Image covers 240 mm x 240 mm. Axial plane. Slice 38 of 155. Brain.
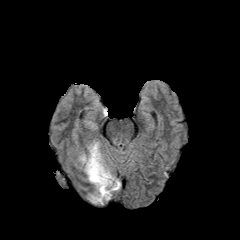
FLAIR MRI.
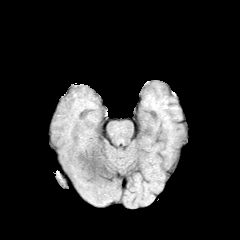
T1-weighted MR of the same slice.
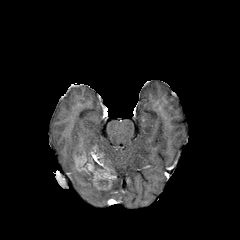
Post-contrast T1-weighted MRI.
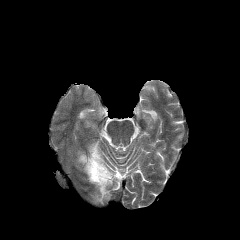
Same slice, T2-weighted MRI.
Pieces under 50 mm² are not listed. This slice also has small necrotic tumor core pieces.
Segmented structures:
* peritumoral edema: l=86, t=140, r=103, b=156; l=90, t=178, r=120, b=204
* enhancing tumor: l=75, t=145, r=115, b=189